Image covers 240 mm x 240 mm; Brain
FLAIR MR.
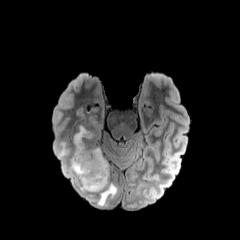
T1-weighted magnetic resonance.
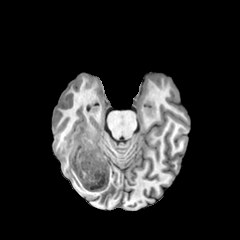
Post-contrast T1-weighted magnetic resonance.
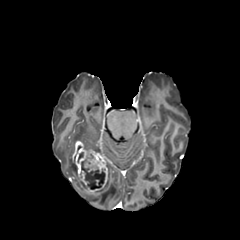
T2-weighted magnetic resonance.
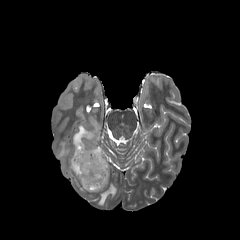
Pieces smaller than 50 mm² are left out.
{
  "necrotic_tumor_core": [
    "(left=81, top=154, right=105, bottom=189)"
  ],
  "enhancing_tumor": [
    "(left=73, top=141, right=107, bottom=192)"
  ],
  "peritumoral_edema": [
    "(left=55, top=125, right=102, bottom=192)",
    "(left=94, top=161, right=117, bottom=205)"
  ]
}